FLAIR magnetic resonance.
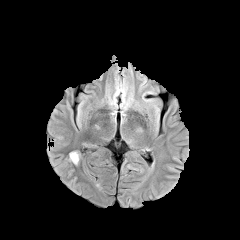
T1-weighted MRI.
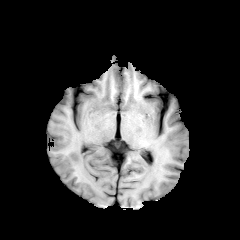
Post-contrast T1-weighted magnetic resonance.
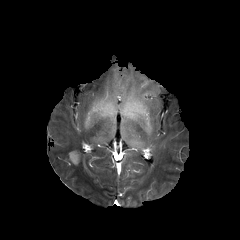
T2-weighted magnetic resonance.
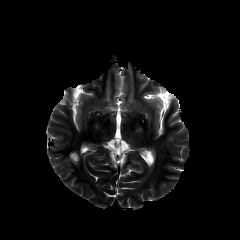
Head.
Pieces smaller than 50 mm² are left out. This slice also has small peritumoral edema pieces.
enhancing tumor: bounding box (left=69, top=152, right=78, bottom=163)